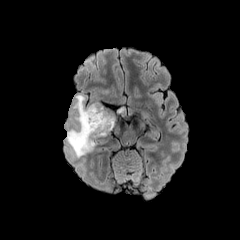
FLAIR magnetic resonance.
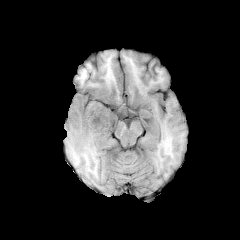
T1-weighted magnetic resonance of the same slice.
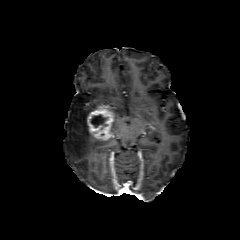
Post-contrast T1-weighted MR image of the same slice.
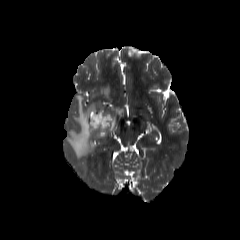
T2-weighted magnetic resonance.
Head | Axial view
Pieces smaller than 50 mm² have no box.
necrotic tumor core — [x1=91, y1=115, x2=105, y2=127]
peritumoral edema — [x1=67, y1=94, x2=101, y2=158]
enhancing tumor — [x1=87, y1=105, x2=115, y2=140]